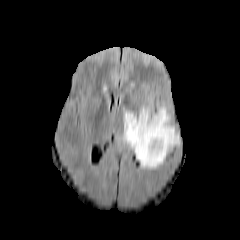
FLAIR MRI.
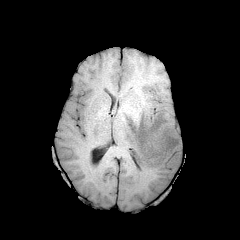
Same slice, T1-weighted magnetic resonance.
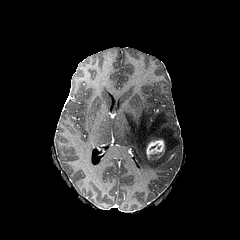
Post-contrast T1-weighted MRI.
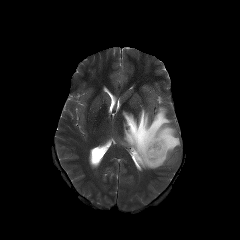
T2-weighted magnetic resonance of the same slice.
Axial view; Head
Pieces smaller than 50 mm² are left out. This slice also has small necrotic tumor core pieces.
enhancing tumor: 146:139:164:159 | peritumoral edema: 122:106:180:169